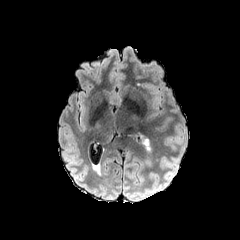
FLAIR magnetic resonance.
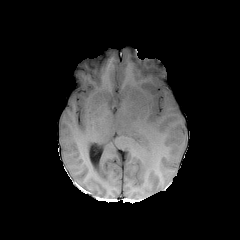
T1-weighted MR.
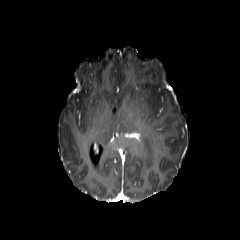
Post-contrast T1-weighted MRI.
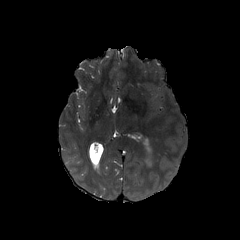
Same slice, T2-weighted MRI.
Brain
peritumoral edema at {"x1": 135, "y1": 132, "x2": 152, "y2": 166}